FLAIR magnetic resonance.
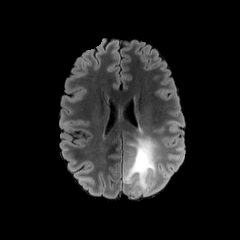
T1-weighted MR.
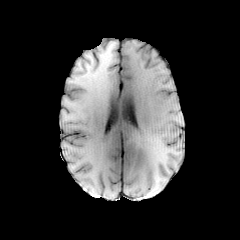
Post-contrast T1-weighted magnetic resonance.
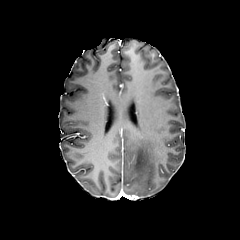
T2-weighted MRI.
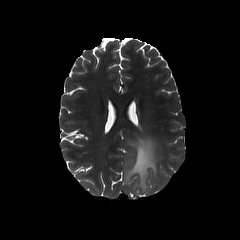
Head. Axial slice. 240x240.
<segmentation>
  <peritumoral_edema>(123,136,169,194)</peritumoral_edema>
</segmentation>